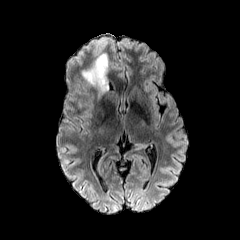
FLAIR MR image.
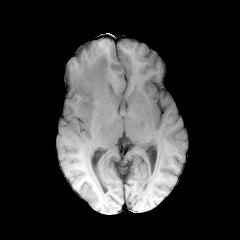
T1-weighted MRI of the same slice.
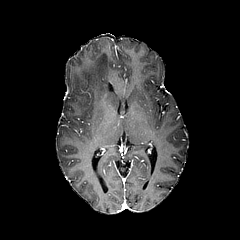
Post-contrast T1-weighted MR.
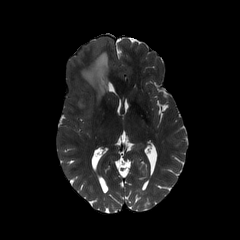
Same slice, T2-weighted MR image.
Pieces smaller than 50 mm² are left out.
The largest peritumoral edema region is at {"x1": 81, "y1": 52, "x2": 108, "y2": 96}.